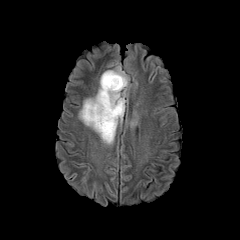
FLAIR MRI.
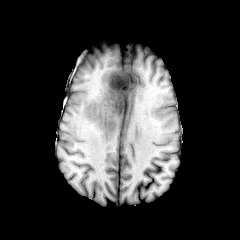
Same slice, T1-weighted magnetic resonance.
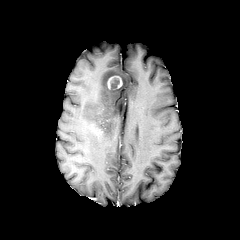
Post-contrast T1-weighted MRI.
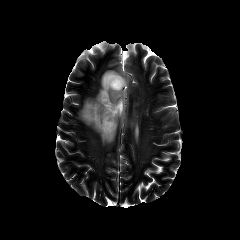
T2-weighted MRI of the same slice.
Axial slice
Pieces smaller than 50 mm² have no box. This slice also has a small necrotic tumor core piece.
{
  "enhancing_tumor": [
    "[107,75,122,90]"
  ],
  "peritumoral_edema": [
    "[79,64,129,144]"
  ]
}